Head. 240x240 px.
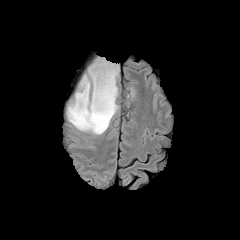
FLAIR magnetic resonance.
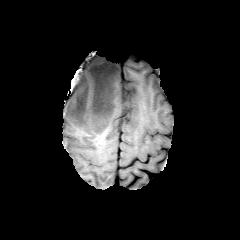
T1-weighted MR image of the same slice.
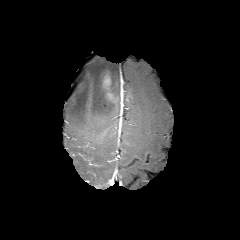
Post-contrast T1-weighted magnetic resonance.
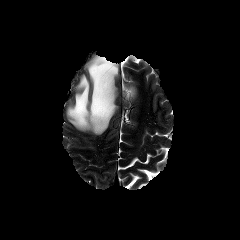
Same slice, T2-weighted MR.
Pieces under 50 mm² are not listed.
• enhancing tumor: (x1=103, y1=75, x2=110, y2=88)
• peritumoral edema: (x1=67, y1=57, x2=118, y2=134)